FLAIR MRI.
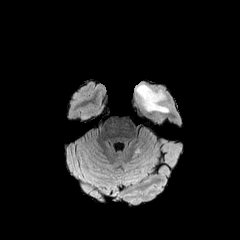
T1-weighted MRI.
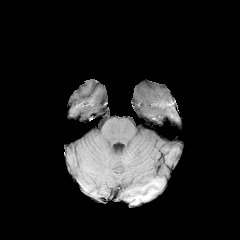
Post-contrast T1-weighted MR image.
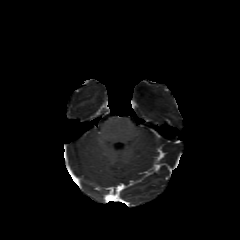
T2-weighted MRI.
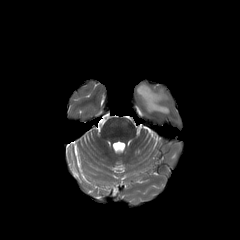
peritumoral_edema:
  - (x1=134, y1=83, x2=169, y2=113)